FLAIR MR image.
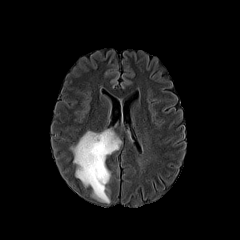
T1-weighted MR.
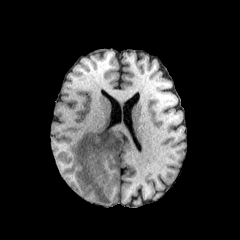
Post-contrast T1-weighted MR image.
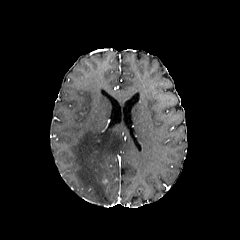
T2-weighted MR.
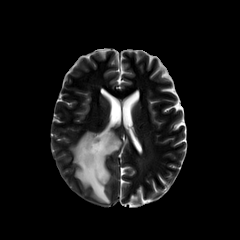
Head | 240x240 px | Axial view
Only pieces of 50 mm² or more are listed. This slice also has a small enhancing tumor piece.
The peritumoral edema appears at {"x1": 70, "y1": 129, "x2": 121, "y2": 203}.